Axial view.
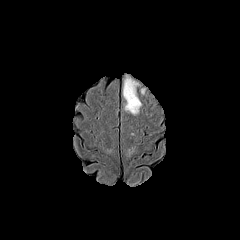
FLAIR MRI.
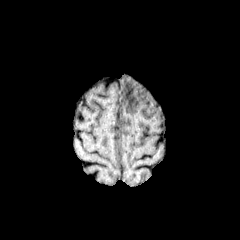
T1-weighted MR.
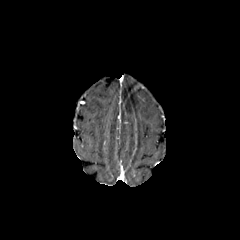
Post-contrast T1-weighted MR of the same slice.
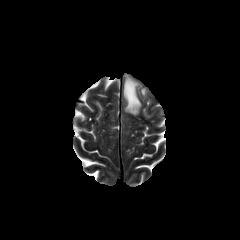
T2-weighted MR image of the same slice.
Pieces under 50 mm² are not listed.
{"peritumoral_edema": ["bbox=[123, 78, 141, 114]"]}